FLAIR MR image.
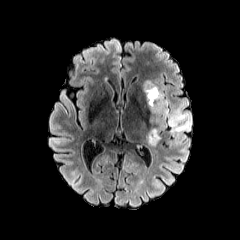
T1-weighted MR image.
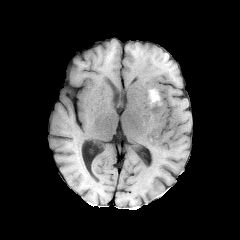
Post-contrast T1-weighted MR.
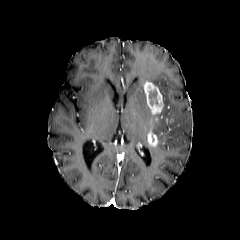
T2-weighted MR image.
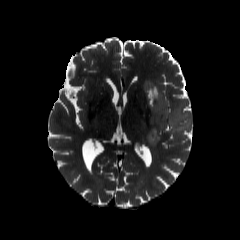
Head
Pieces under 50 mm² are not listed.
enhancing tumor: rect(143, 81, 164, 115); rect(147, 123, 159, 146) | necrotic tumor core: rect(149, 90, 157, 105) | peritumoral edema: rect(148, 79, 191, 144)